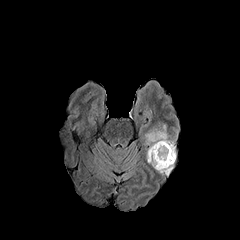
FLAIR MR.
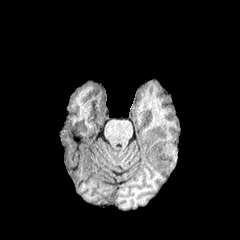
T1-weighted magnetic resonance of the same slice.
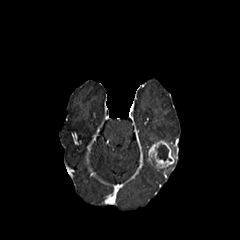
Post-contrast T1-weighted magnetic resonance.
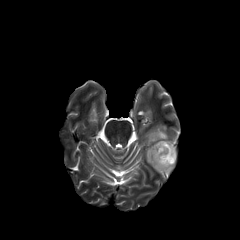
T2-weighted magnetic resonance.
Axial slice, 240x240 px, Head
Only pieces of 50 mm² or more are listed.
necrotic tumor core: (left=157, top=145, right=171, bottom=160) | enhancing tumor: (left=147, top=140, right=176, bottom=173) | peritumoral edema: (left=145, top=124, right=173, bottom=145)